FLAIR MR.
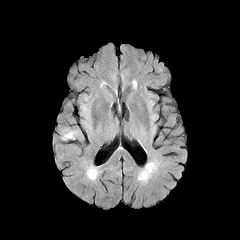
T1-weighted magnetic resonance.
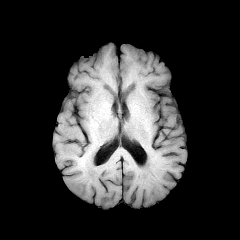
Post-contrast T1-weighted magnetic resonance.
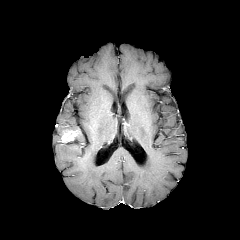
T2-weighted MR image.
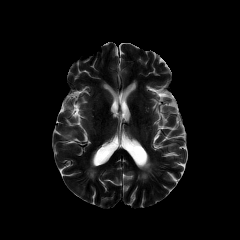
240x240, Head, Axial plane
enhancing tumor: <box>61,130,77,141</box>